Axial slice. Head.
FLAIR magnetic resonance.
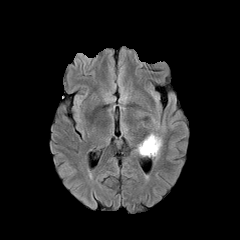
T1-weighted magnetic resonance.
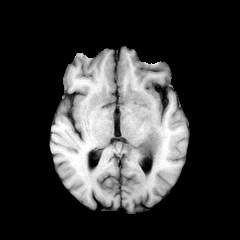
Post-contrast T1-weighted MR image.
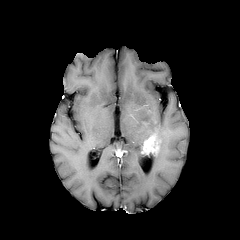
T2-weighted MRI.
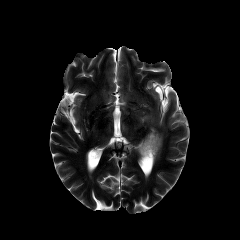
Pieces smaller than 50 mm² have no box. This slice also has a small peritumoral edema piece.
{"enhancing_tumor": ["[141, 119, 163, 157]"]}